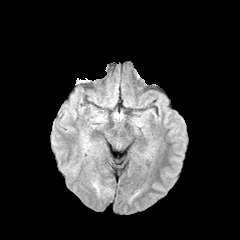
FLAIR MR.
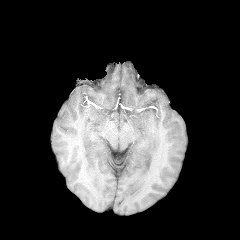
T1-weighted MR.
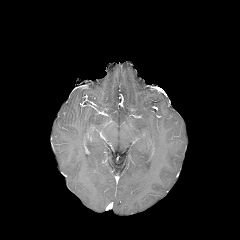
Post-contrast T1-weighted magnetic resonance.
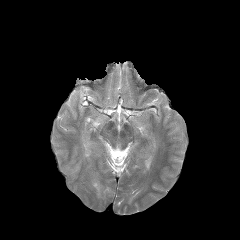
T2-weighted MR.
Axial slice. Head. 240x240 px.
2 peritumoral edema regions are located at [92, 180, 101, 195], [82, 134, 91, 151].